FLAIR MRI.
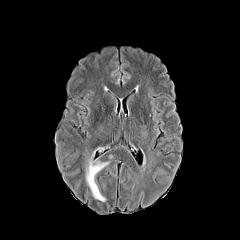
T1-weighted MR image.
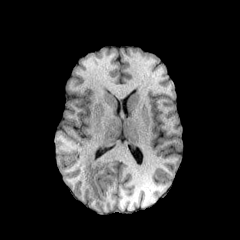
Post-contrast T1-weighted MR.
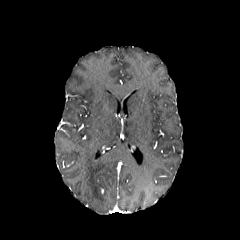
T2-weighted MRI.
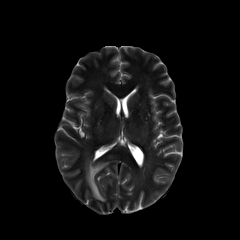
Axial slice. Head. 240x240.
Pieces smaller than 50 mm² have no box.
<segmentation>
  <peritumoral_edema>(x1=85, y1=155, x2=108, y2=201)</peritumoral_edema>
</segmentation>